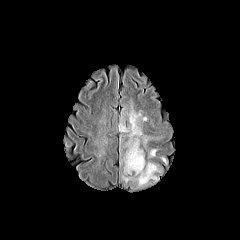
FLAIR MR.
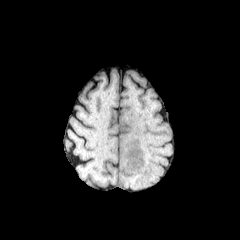
T1-weighted MRI.
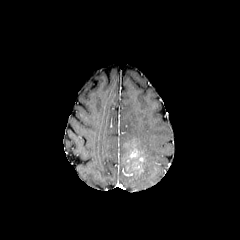
Post-contrast T1-weighted MRI.
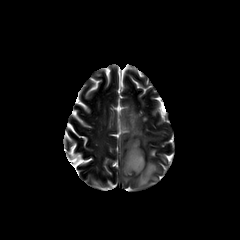
T2-weighted MR image of the same slice.
Axial plane | 240x240
Annotated regions:
• enhancing tumor: {"x1": 126, "y1": 139, "x2": 143, "y2": 173}
• peritumoral edema: {"x1": 98, "y1": 112, "x2": 107, "y2": 125}, {"x1": 119, "y1": 96, "x2": 163, "y2": 188}, {"x1": 94, "y1": 133, "x2": 108, "y2": 155}, {"x1": 159, "y1": 156, "x2": 168, "y2": 165}